Slice 102 of 155; Image width 240 mm, 1.00 mm slice spacing; 240x240 px; Head
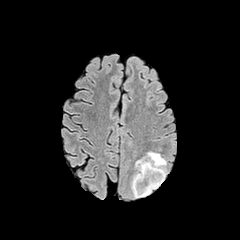
FLAIR MR.
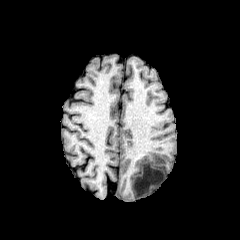
T1-weighted MRI of the same slice.
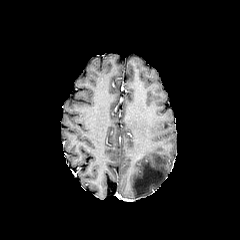
Same slice, post-contrast T1-weighted MR.
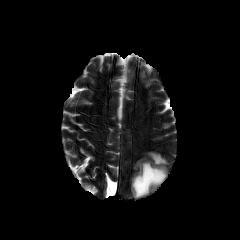
T2-weighted MR image.
Findings:
- peritumoral edema: [131,152,167,197]